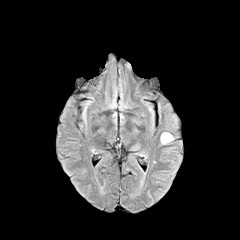
FLAIR MR.
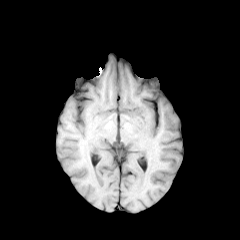
T1-weighted MRI of the same slice.
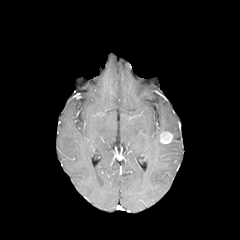
Same slice, post-contrast T1-weighted MR.
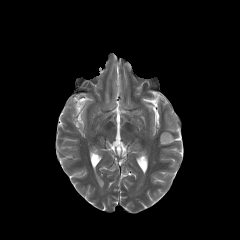
T2-weighted MR image.
Axial slice
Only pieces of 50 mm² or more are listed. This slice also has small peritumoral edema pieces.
The enhancing tumor is at 160, 131, 172, 143.